Image width 240 mm. Slice index 78.
FLAIR magnetic resonance.
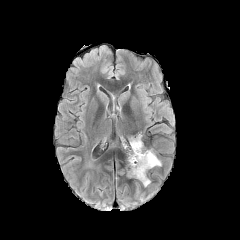
T1-weighted MR.
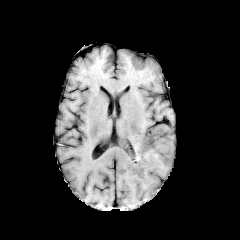
Post-contrast T1-weighted magnetic resonance.
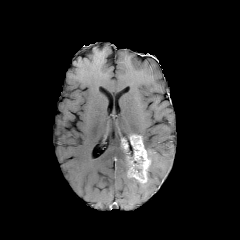
T2-weighted MR image.
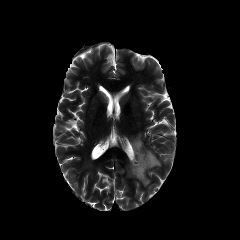
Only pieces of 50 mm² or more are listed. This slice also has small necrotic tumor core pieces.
<segmentation>
  <enhancing_tumor><bbox>128, 135, 150, 183</bbox></enhancing_tumor>
  <peritumoral_edema><bbox>147, 150, 161, 168</bbox></peritumoral_edema>
</segmentation>